Axial slice
FLAIR magnetic resonance.
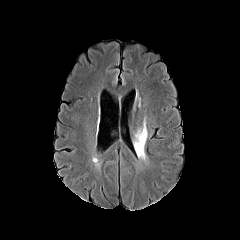
T1-weighted magnetic resonance.
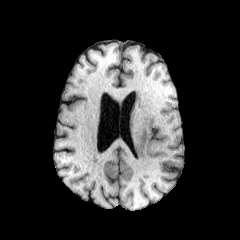
Post-contrast T1-weighted magnetic resonance.
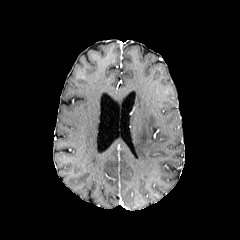
T2-weighted magnetic resonance.
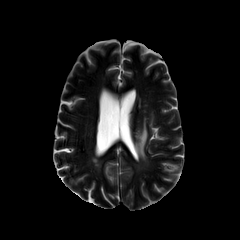
* peritumoral edema: (134, 119, 147, 160)